FLAIR MR image.
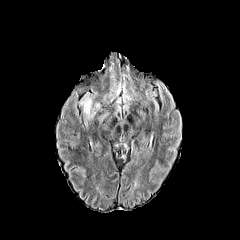
T1-weighted MR.
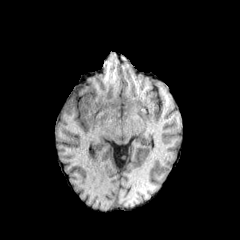
Post-contrast T1-weighted MR.
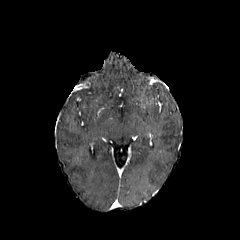
T2-weighted MR image.
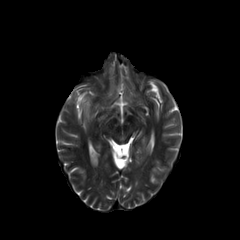
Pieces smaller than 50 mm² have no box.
peritumoral_edema:
  - region(81, 98, 92, 117)